Axial slice, Head, Slice index 110
FLAIR MR.
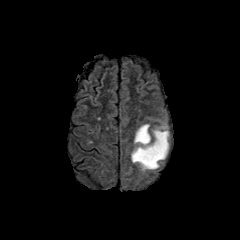
T1-weighted magnetic resonance.
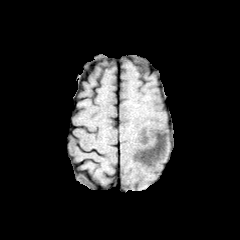
Post-contrast T1-weighted MR image.
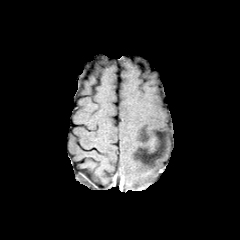
T2-weighted magnetic resonance.
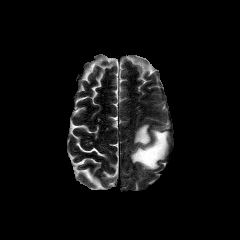
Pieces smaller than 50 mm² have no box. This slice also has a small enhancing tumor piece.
peritumoral edema at region(131, 124, 169, 171)